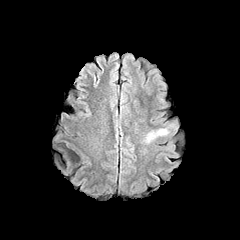
FLAIR MRI.
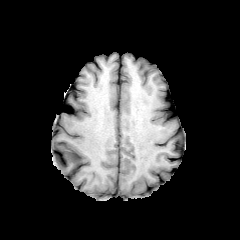
Same slice, T1-weighted MR.
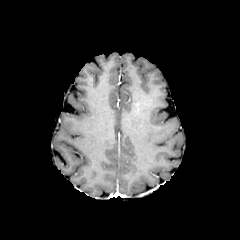
Same slice, post-contrast T1-weighted MR image.
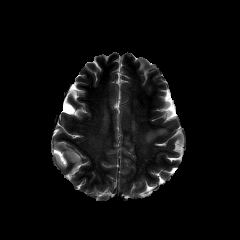
T2-weighted magnetic resonance.
Brain | 240x240 px
{
  "peritumoral_edema": [
    "l=145, t=129, r=166, b=142"
  ]
}